FLAIR MR.
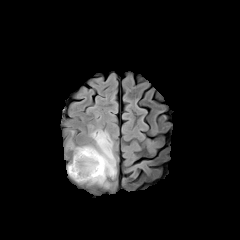
T1-weighted MR image.
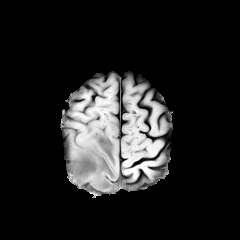
Post-contrast T1-weighted magnetic resonance.
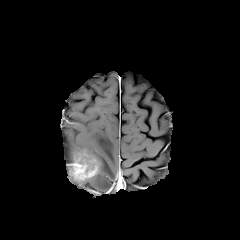
T2-weighted MR.
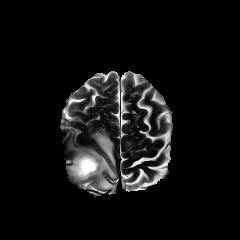
Head.
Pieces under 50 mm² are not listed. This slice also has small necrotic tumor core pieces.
enhancing tumor — region(68, 147, 104, 181)
peritumoral edema — region(78, 130, 116, 187)